FLAIR MR.
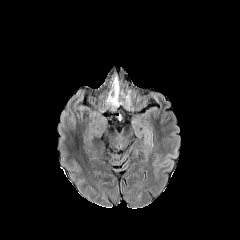
T1-weighted MRI.
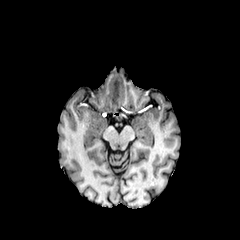
Post-contrast T1-weighted magnetic resonance.
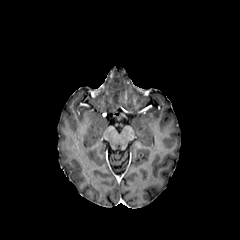
T2-weighted MRI.
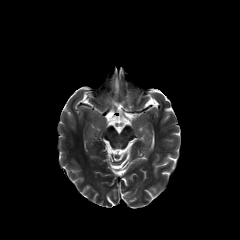
Annotated regions:
* peritumoral edema: bbox(107, 77, 119, 106)